FLAIR MR image.
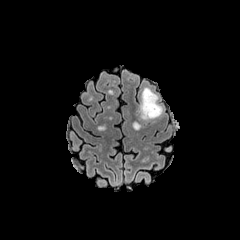
T1-weighted magnetic resonance.
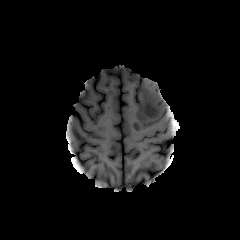
Post-contrast T1-weighted MR image.
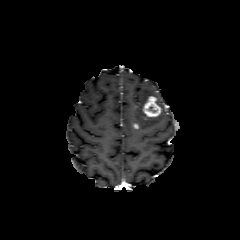
T2-weighted MRI.
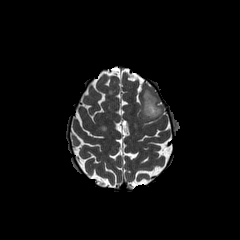
Axial plane; 240x240 px
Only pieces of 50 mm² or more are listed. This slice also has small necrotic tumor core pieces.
enhancing tumor: [x1=143, y1=96, x2=161, y2=116] | peritumoral edema: [x1=140, y1=88, x2=158, y2=119]